Axial plane. Head.
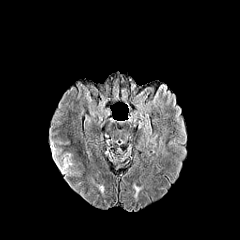
FLAIR MR.
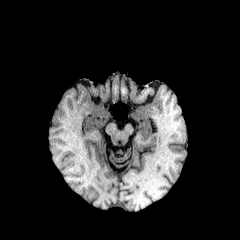
T1-weighted magnetic resonance.
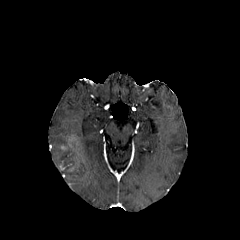
Post-contrast T1-weighted magnetic resonance.
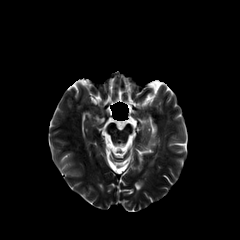
T2-weighted MR image.
<segmentation>
  <peritumoral_edema>rect(62, 167, 73, 174); rect(62, 154, 71, 166); rect(52, 147, 59, 167)</peritumoral_edema>
</segmentation>